FLAIR MRI.
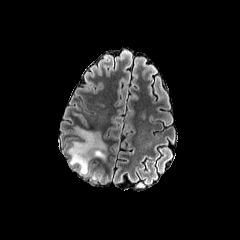
T1-weighted magnetic resonance.
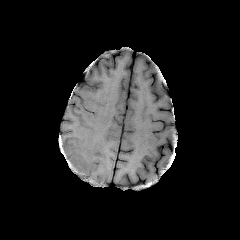
Post-contrast T1-weighted MRI.
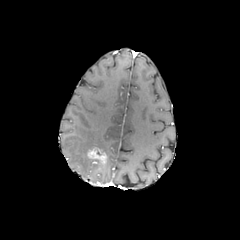
T2-weighted magnetic resonance.
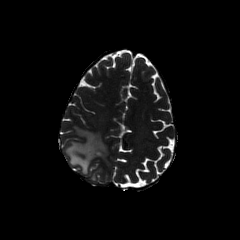
Brain. Axial slice.
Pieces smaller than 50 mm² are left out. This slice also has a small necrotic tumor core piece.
enhancing tumor: (87, 147, 106, 163) | peritumoral edema: (67, 127, 107, 174)